FLAIR MR image.
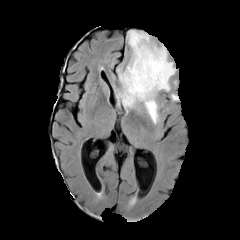
T1-weighted MR image.
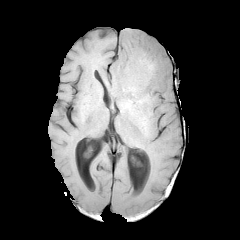
Post-contrast T1-weighted MRI.
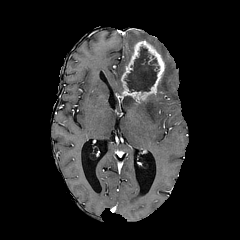
T2-weighted magnetic resonance.
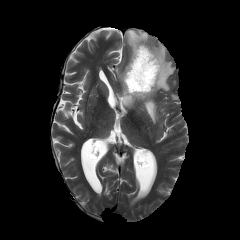
Image size 240x240
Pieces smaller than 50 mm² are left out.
Findings:
- necrotic tumor core: bbox(124, 47, 159, 92)
- enhancing tumor: bbox(117, 40, 165, 102)
- peritumoral edema: bbox(116, 67, 124, 96); bbox(122, 95, 158, 123); bbox(126, 30, 175, 91)